Head; Axial view; Image width 240 mm, 1.00 mm slice spacing
FLAIR MRI.
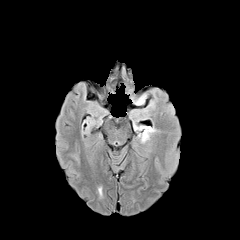
T1-weighted MR.
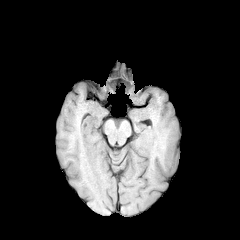
Post-contrast T1-weighted MRI.
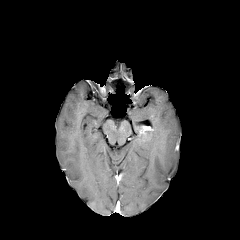
T2-weighted MR.
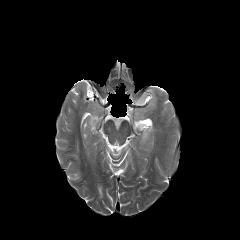
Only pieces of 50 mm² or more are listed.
Segmented structures:
* enhancing tumor: [141, 126, 151, 136]
* peritumoral edema: [138, 127, 156, 145]